FLAIR MRI.
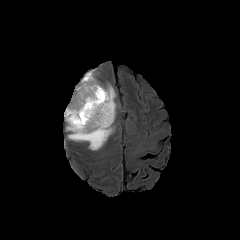
T1-weighted MR.
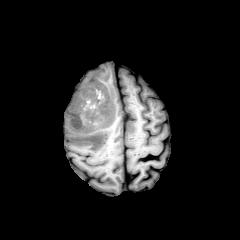
Post-contrast T1-weighted MRI.
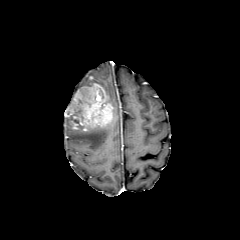
T2-weighted MR image.
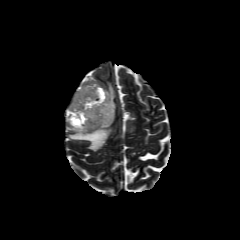
Head. Image size 240x240.
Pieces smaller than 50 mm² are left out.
The 2 largest enhancing tumor regions are located at rect(70, 121, 79, 129); rect(65, 83, 114, 131). The largest necrotic tumor core region is bounded by rect(68, 109, 81, 123). The 3 largest peritumoral edema regions are bounded by rect(105, 85, 115, 117); rect(65, 117, 113, 150); rect(82, 71, 93, 80).